FLAIR MR image.
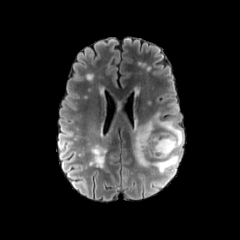
T1-weighted magnetic resonance.
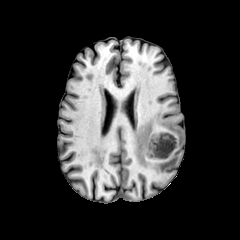
Post-contrast T1-weighted MR.
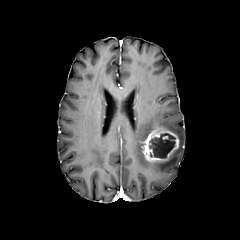
T2-weighted MR.
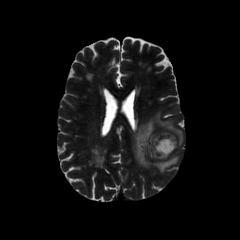
Head
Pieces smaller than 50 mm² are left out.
The necrotic tumor core appears at 149, 133, 175, 158. 2 peritumoral edema regions appear at 172, 103, 178, 113; 133, 112, 183, 172. The largest enhancing tumor region is located at 142, 130, 179, 161.